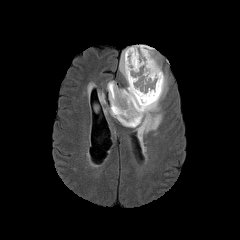
FLAIR MR image.
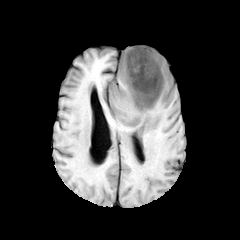
T1-weighted MRI.
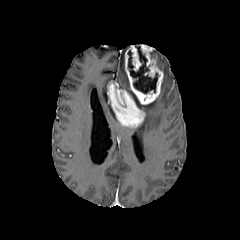
Same slice, post-contrast T1-weighted MRI.
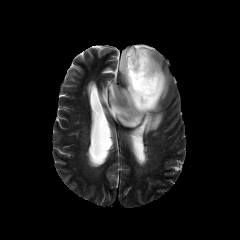
Same slice, T2-weighted magnetic resonance.
Brain.
peritumoral edema at bbox=[132, 72, 168, 143]; bbox=[104, 107, 116, 119]; bbox=[119, 48, 129, 90]; bbox=[98, 92, 105, 103]; bbox=[154, 50, 161, 69]
necrotic tumor core at bbox=[128, 45, 158, 93]
enhancing tumor at bbox=[107, 44, 163, 127]